FLAIR magnetic resonance.
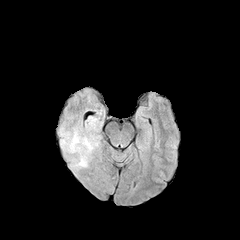
T1-weighted magnetic resonance.
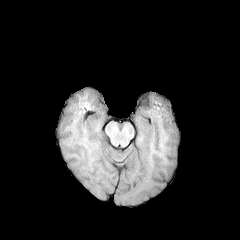
Post-contrast T1-weighted magnetic resonance.
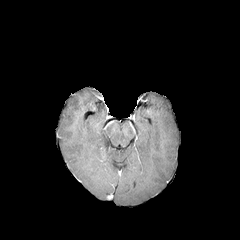
T2-weighted MR image.
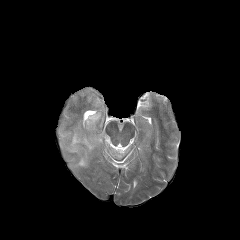
The peritumoral edema appears at 59:117:100:167.